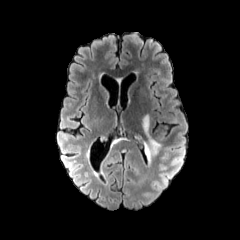
FLAIR MR image.
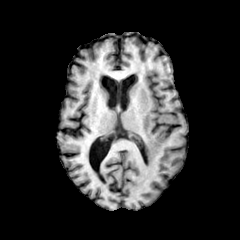
Same slice, T1-weighted MR image.
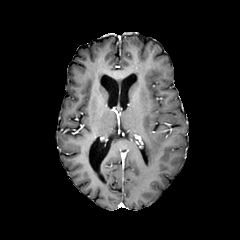
Post-contrast T1-weighted MR.
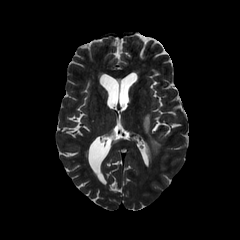
Same slice, T2-weighted MRI.
<segmentation>
  <peritumoral_edema>region(143, 114, 160, 161)</peritumoral_edema>
</segmentation>